FLAIR MRI.
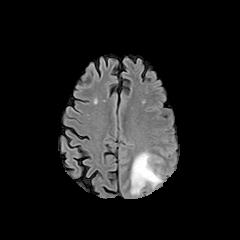
T1-weighted MR image.
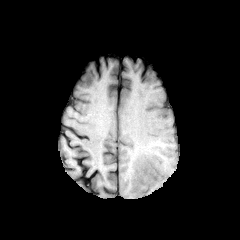
Post-contrast T1-weighted MRI.
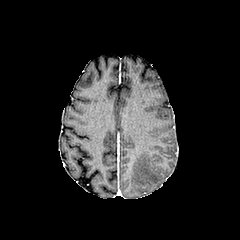
T2-weighted MRI.
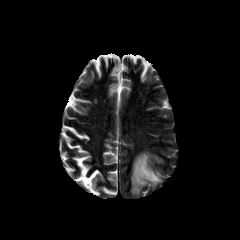
Axial slice | Image size 240x240 | Brain
peritumoral edema: <box>131,152,161,194</box>